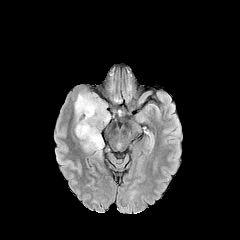
FLAIR MRI.
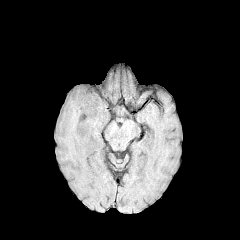
T1-weighted MR.
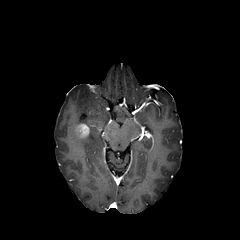
Post-contrast T1-weighted MRI of the same slice.
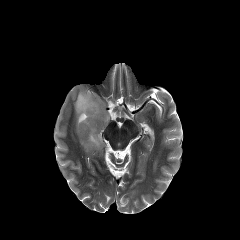
T2-weighted MR of the same slice.
Brain
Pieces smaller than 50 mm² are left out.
enhancing tumor: box(76, 124, 89, 137) | peritumoral edema: box(74, 90, 109, 156)